Axial plane, Image covers 240 mm x 240 mm, 240x240
FLAIR magnetic resonance.
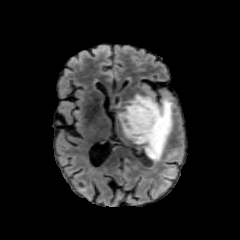
T1-weighted MR image.
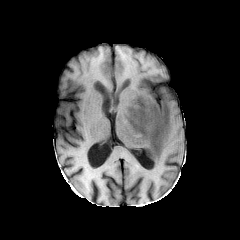
Post-contrast T1-weighted MRI.
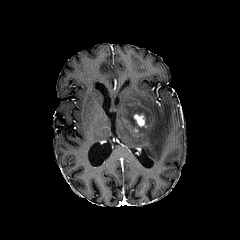
T2-weighted magnetic resonance.
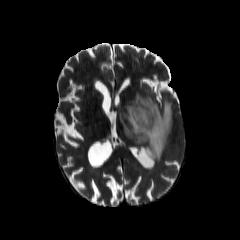
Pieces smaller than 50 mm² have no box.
2 peritumoral edema regions are located at <box>129,150,144,167</box>, <box>115,93,172,169</box>. The largest enhancing tumor region is bounded by <box>134,113,147,127</box>.